FLAIR MR.
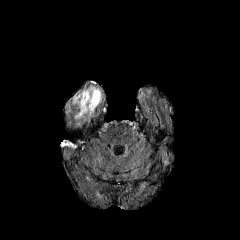
T1-weighted MR.
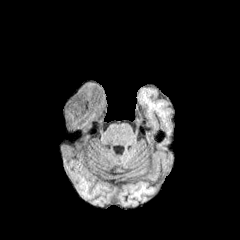
Post-contrast T1-weighted MR image.
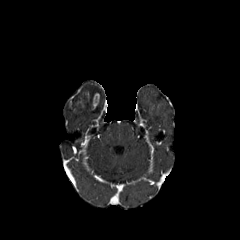
T2-weighted magnetic resonance.
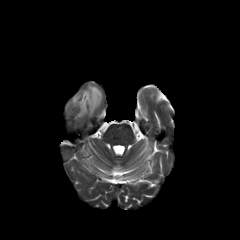
Axial slice, Head
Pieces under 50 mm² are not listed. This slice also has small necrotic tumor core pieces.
{
  "peritumoral_edema": [
    "(72,85,102,119)"
  ],
  "enhancing_tumor": [
    "(91,93,99,109)"
  ]
}